240x240 px | Head | Slice 66 of 155
FLAIR MR image.
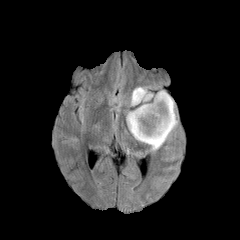
T1-weighted magnetic resonance.
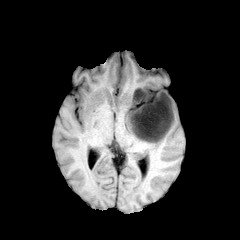
Post-contrast T1-weighted MR image.
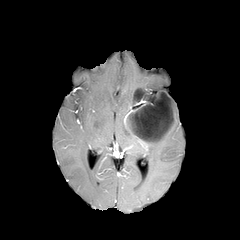
T2-weighted MR image.
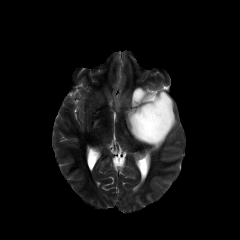
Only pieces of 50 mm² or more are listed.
2 necrotic tumor core regions are located at [133,94,171,140], [136,91,150,100]. 2 enhancing tumor regions appear at [134,90,153,102], [130,92,173,141]. The 2 largest peritumoral edema regions appear at [126,90,177,151], [130,87,153,108].